FLAIR magnetic resonance.
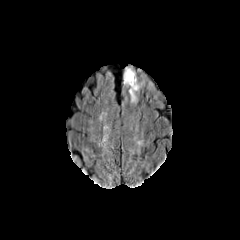
T1-weighted MRI.
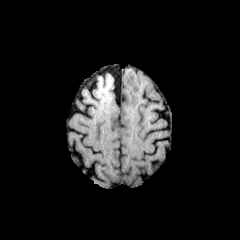
Post-contrast T1-weighted MR image.
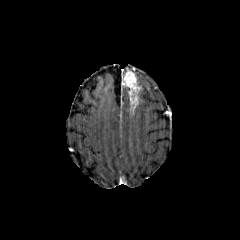
T2-weighted MR image.
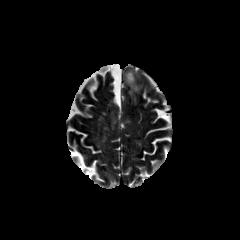
Brain.
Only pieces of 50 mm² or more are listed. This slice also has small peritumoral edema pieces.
<segmentation>
  <enhancing_tumor>left=123, top=70, right=140, bottom=105</enhancing_tumor>
</segmentation>